Slice index 84. Brain.
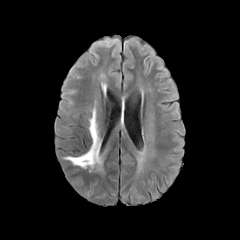
FLAIR MRI.
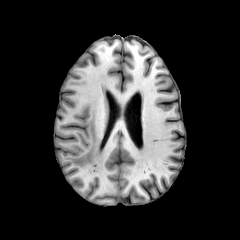
T1-weighted MR image.
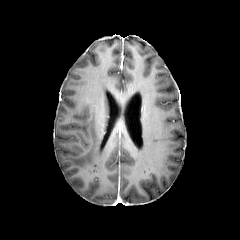
Post-contrast T1-weighted MR image.
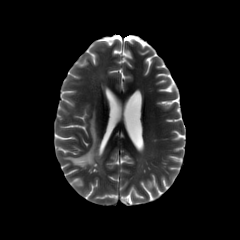
T2-weighted magnetic resonance of the same slice.
peritumoral edema: bbox=[66, 110, 102, 170]